FLAIR MRI.
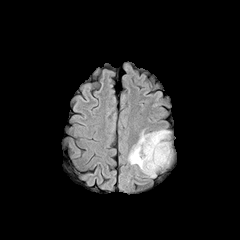
T1-weighted magnetic resonance.
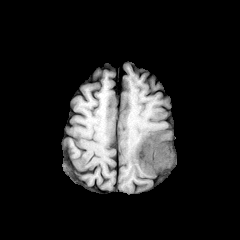
Post-contrast T1-weighted MR.
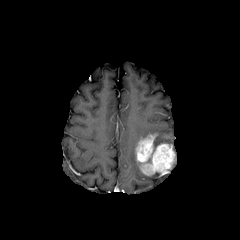
T2-weighted MR.
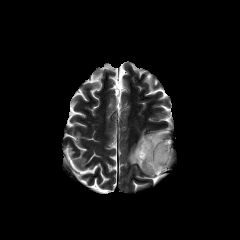
Axial view.
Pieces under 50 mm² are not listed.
The enhancing tumor appears at box=[135, 133, 174, 175]. The 2 largest peritumoral edema regions appear at box=[128, 145, 138, 165]; box=[139, 129, 169, 149].